FLAIR magnetic resonance.
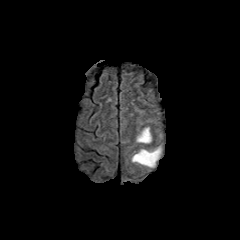
T1-weighted MR.
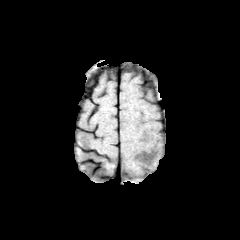
Post-contrast T1-weighted MR.
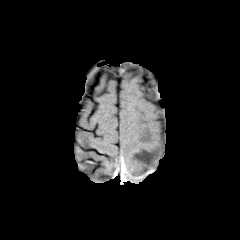
T2-weighted MRI.
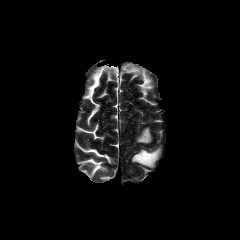
Axial view; 240x240
{
  "peritumoral_edema": [
    "bbox(132, 146, 161, 167)",
    "bbox(136, 127, 151, 143)"
  ]
}